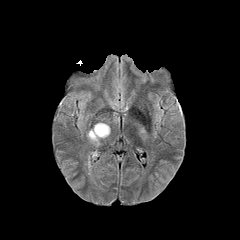
FLAIR magnetic resonance.
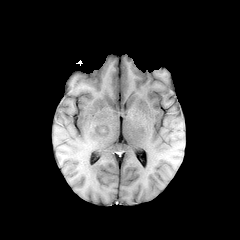
T1-weighted MR.
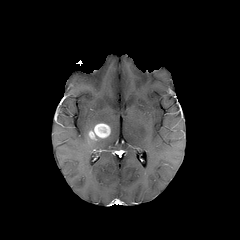
Same slice, post-contrast T1-weighted MR.
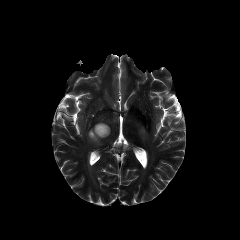
T2-weighted MR.
240x240 px | Axial slice
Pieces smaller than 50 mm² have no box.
enhancing tumor at (left=88, top=123, right=110, bottom=140)
peritumoral edema at (left=87, top=134, right=101, bottom=145)